FLAIR MR image.
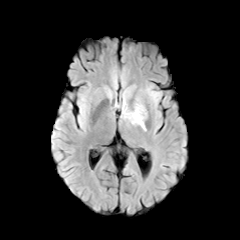
T1-weighted MRI.
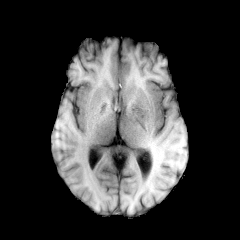
Post-contrast T1-weighted MR image.
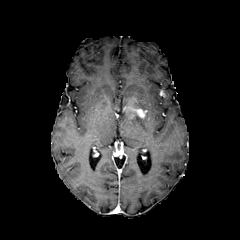
T2-weighted MR image.
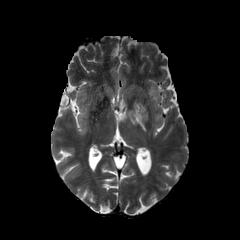
Axial slice | 240x240 px
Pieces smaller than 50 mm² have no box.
{"peritumoral_edema": ["(116, 95, 146, 130)", "(149, 91, 159, 102)"], "enhancing_tumor": ["(123, 106, 145, 118)"]}